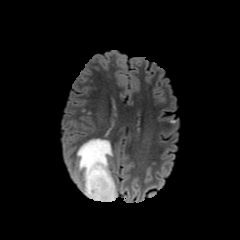
FLAIR magnetic resonance.
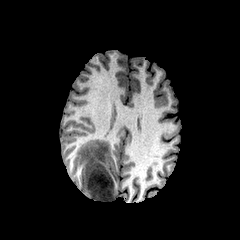
T1-weighted MR.
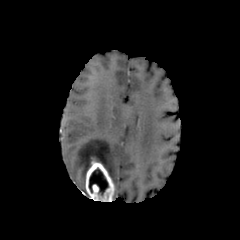
Post-contrast T1-weighted MRI.
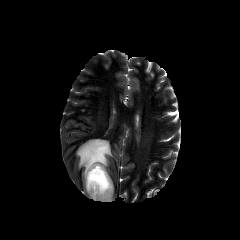
T2-weighted MR of the same slice.
Axial view
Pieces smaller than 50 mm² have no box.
{
  "peritumoral_edema": [
    "(left=77, top=139, right=112, bottom=192)"
  ],
  "necrotic_tumor_core": [
    "(left=89, top=168, right=108, bottom=195)"
  ],
  "enhancing_tumor": [
    "(left=85, top=157, right=114, bottom=201)"
  ]
}